Slice 83/155 | Brain
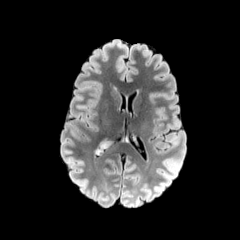
FLAIR MR image.
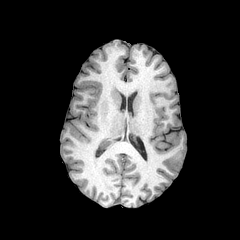
T1-weighted magnetic resonance.
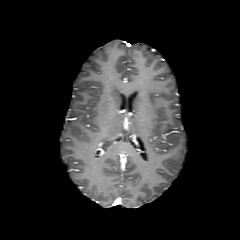
Same slice, post-contrast T1-weighted magnetic resonance.
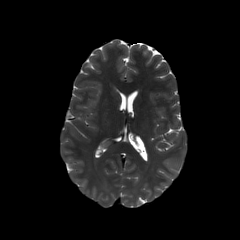
T2-weighted MRI.
Findings:
• peritumoral edema: 99,138,114,148